Head, 240x240
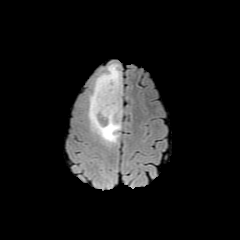
FLAIR magnetic resonance.
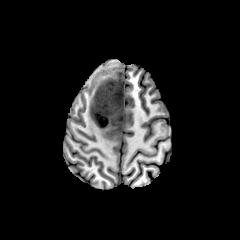
T1-weighted MRI.
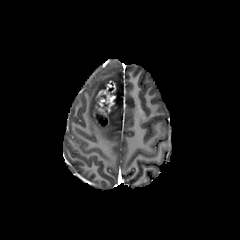
Post-contrast T1-weighted magnetic resonance of the same slice.
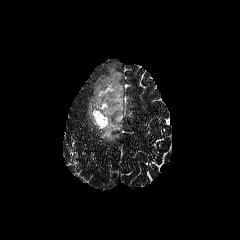
T2-weighted MR.
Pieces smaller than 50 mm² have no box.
peritumoral edema: <box>88,63,122,144</box> | necrotic tumor core: <box>95,114,108,125</box> | enhancing tumor: <box>93,81,118,126</box>